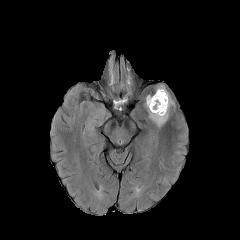
FLAIR MR.
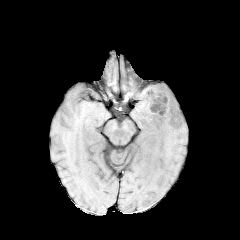
T1-weighted magnetic resonance.
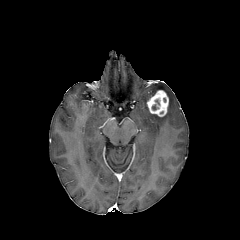
Post-contrast T1-weighted MR.
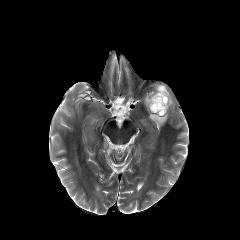
Same slice, T2-weighted magnetic resonance.
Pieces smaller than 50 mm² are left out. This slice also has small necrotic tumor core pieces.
The peritumoral edema is at <bbox>145, 85, 174, 128</bbox>. The enhancing tumor is at <bbox>147, 90, 168, 116</bbox>.